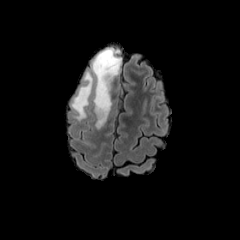
FLAIR MRI.
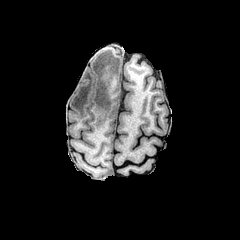
T1-weighted MR.
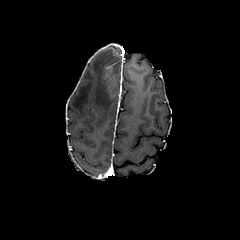
Post-contrast T1-weighted MRI.
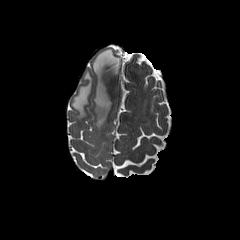
T2-weighted MR image.
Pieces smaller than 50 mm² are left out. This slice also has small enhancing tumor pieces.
peritumoral edema: 72, 71, 93, 120; 92, 48, 121, 128